FLAIR magnetic resonance.
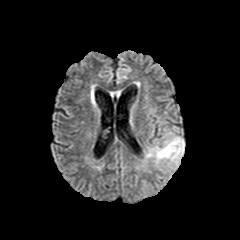
T1-weighted magnetic resonance.
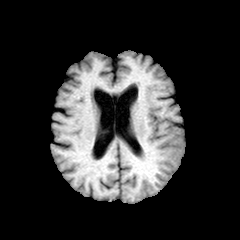
Post-contrast T1-weighted magnetic resonance.
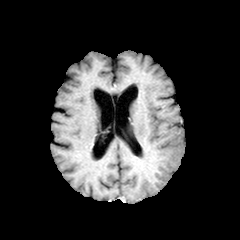
T2-weighted MR.
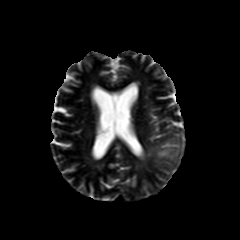
Axial slice
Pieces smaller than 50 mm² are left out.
The largest peritumoral edema region appears at 147 136 184 167.